Brain. Slice index 49. Axial plane.
FLAIR MR.
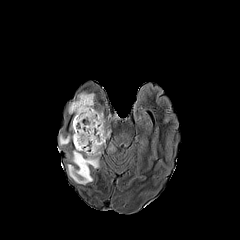
T1-weighted MR image.
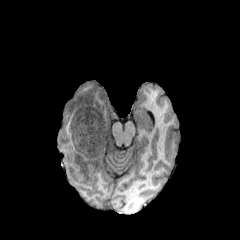
Post-contrast T1-weighted MR image.
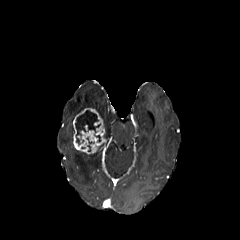
T2-weighted magnetic resonance.
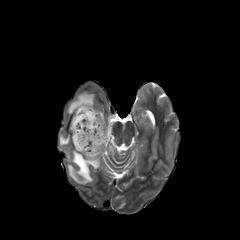
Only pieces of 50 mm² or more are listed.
{"peritumoral_edema": ["59 134 70 146", "68 92 94 115", "67 145 102 184"], "enhancing_tumor": ["73 108 106 154"], "necrotic_tumor_core": ["75 110 100 144"]}